FLAIR magnetic resonance.
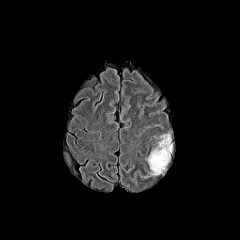
T1-weighted MR.
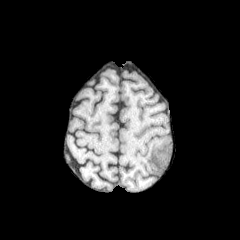
Post-contrast T1-weighted MR.
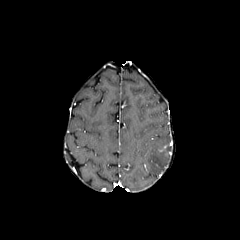
T2-weighted magnetic resonance.
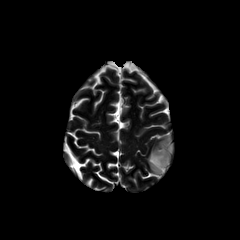
Brain
peritumoral edema: x1=147 y1=134 x2=171 y2=174